Image size 240x240 | Slice index 48
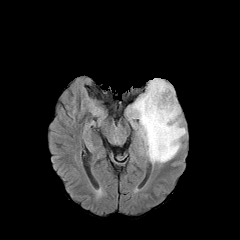
FLAIR MR.
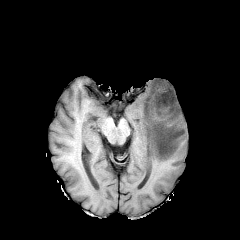
Same slice, T1-weighted MR.
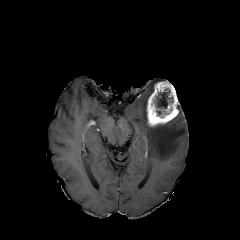
Same slice, post-contrast T1-weighted MR.
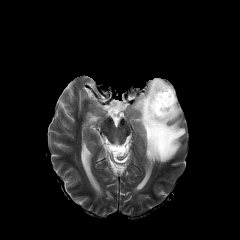
T2-weighted MR.
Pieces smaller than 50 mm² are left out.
The peritumoral edema appears at [x1=127, y1=78, x2=186, y2=163]. The largest necrotic tumor core region is at [x1=157, y1=91, x2=172, y2=108]. The largest enhancing tumor region is at [x1=146, y1=81, x2=179, y2=127].